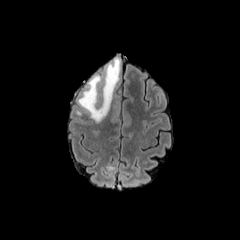
FLAIR MRI.
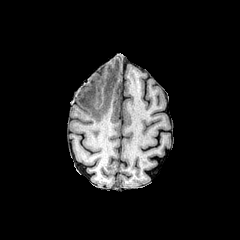
T1-weighted MRI.
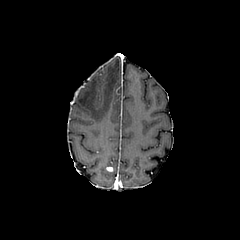
Same slice, post-contrast T1-weighted MR image.
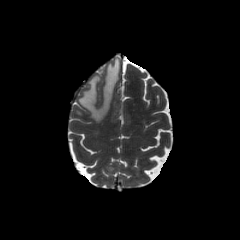
Same slice, T2-weighted MR image.
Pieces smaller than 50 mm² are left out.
peritumoral edema: 78 58 120 122